Axial view, Slice 37 of 155, 240x240 px, Image width 240 mm, 1.00 mm slice spacing
FLAIR MR image.
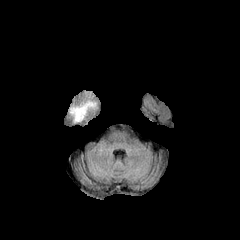
T1-weighted MR image.
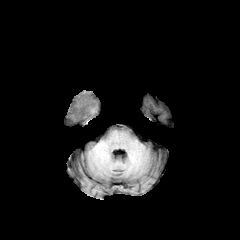
Post-contrast T1-weighted MR.
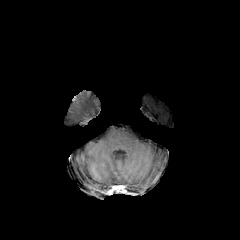
T2-weighted MR.
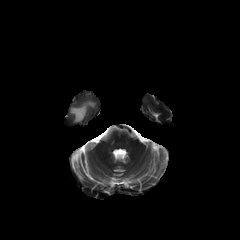
Segmented structures:
* peritumoral edema: <bbox>69, 100, 96, 122</bbox>